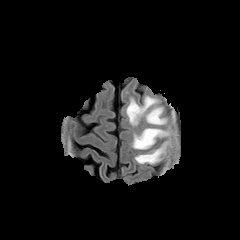
FLAIR MRI.
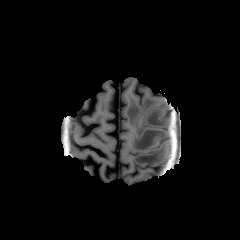
T1-weighted MR.
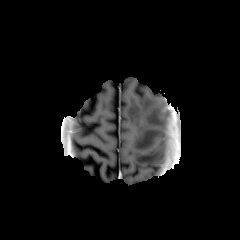
Post-contrast T1-weighted MR.
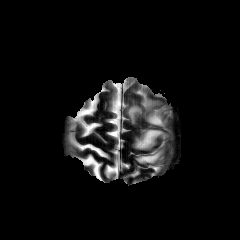
T2-weighted MR image.
240x240. Brain. Axial plane.
peritumoral edema: 133:128:167:149, 135:142:166:164, 126:97:168:125